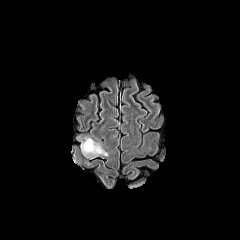
FLAIR magnetic resonance.
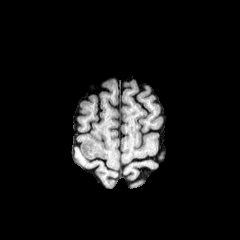
T1-weighted MR image.
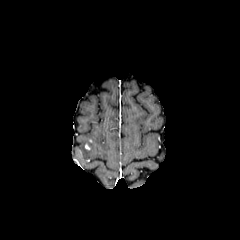
Post-contrast T1-weighted MRI.
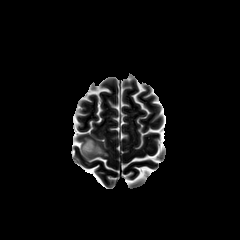
Same slice, T2-weighted magnetic resonance.
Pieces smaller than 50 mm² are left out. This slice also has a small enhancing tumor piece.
peritumoral edema at rect(81, 137, 107, 156)